Slice 108/155
FLAIR MRI.
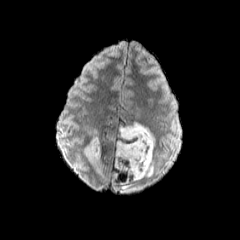
T1-weighted magnetic resonance.
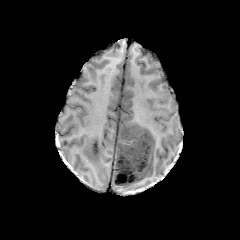
Post-contrast T1-weighted magnetic resonance.
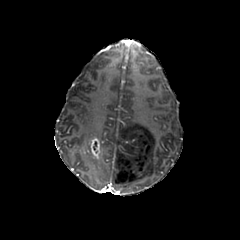
T2-weighted MR image.
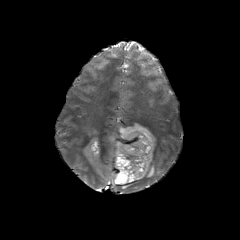
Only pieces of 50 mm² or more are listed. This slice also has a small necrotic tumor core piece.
Segmented structures:
* enhancing tumor: <box>84,136,100,159</box>
* peritumoral edema: <box>81,142,91,153</box>, <box>89,158,102,171</box>, <box>113,122,155,189</box>